FLAIR magnetic resonance.
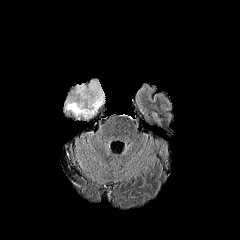
T1-weighted magnetic resonance.
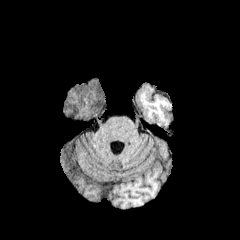
Post-contrast T1-weighted MR.
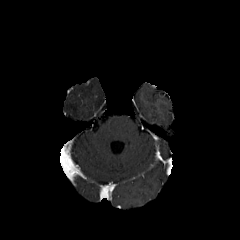
T2-weighted MR.
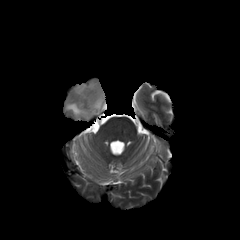
Axial plane, Brain
peritumoral edema: [65, 80, 104, 119]